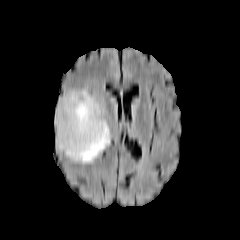
FLAIR MR.
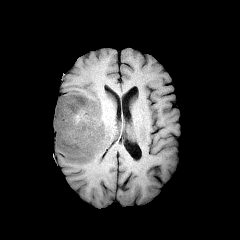
T1-weighted magnetic resonance of the same slice.
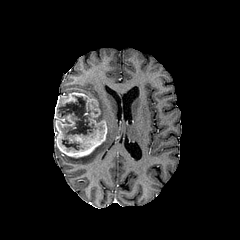
Same slice, post-contrast T1-weighted magnetic resonance.
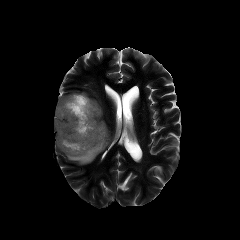
Same slice, T2-weighted MR image.
Brain | Axial slice | 240x240 px
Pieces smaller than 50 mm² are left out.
peritumoral edema = region(67, 125, 110, 164); region(69, 90, 95, 98)
necrotic tumor core = region(57, 96, 96, 149)
enhancing tumor = region(54, 92, 107, 157)